Brain, Image covers 240 mm x 240 mm
FLAIR MR.
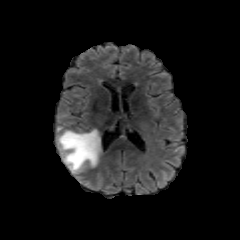
T1-weighted MR image.
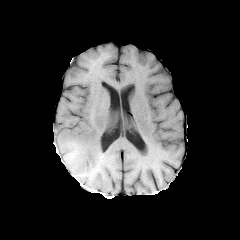
Post-contrast T1-weighted MR.
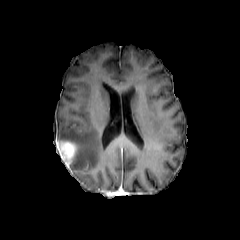
T2-weighted magnetic resonance.
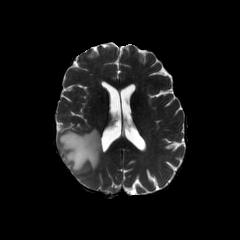
The peritumoral edema lies within <bbox>57, 126, 101, 178</bbox>. The enhancing tumor is bounded by <bbox>57, 140, 77, 166</bbox>.